Axial plane, Head
FLAIR magnetic resonance.
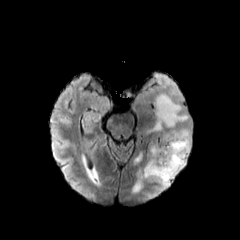
T1-weighted MRI.
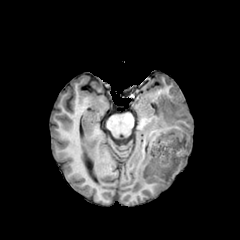
Post-contrast T1-weighted MR image.
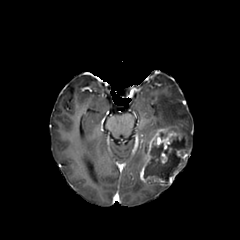
T2-weighted magnetic resonance.
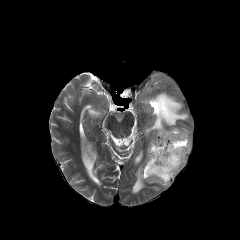
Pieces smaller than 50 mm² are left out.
• enhancing tumor: region(139, 128, 190, 186); region(161, 152, 167, 164)
• peritumoral edema: region(154, 184, 169, 192); region(131, 151, 144, 193); region(146, 94, 191, 149)
• necrotic tumor core: region(144, 136, 185, 183)